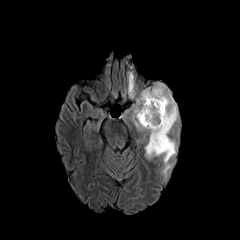
FLAIR MRI.
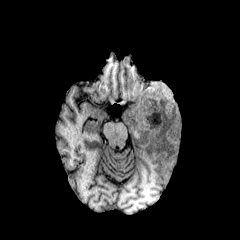
T1-weighted MR.
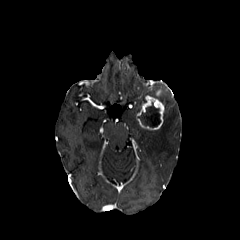
Post-contrast T1-weighted MRI of the same slice.
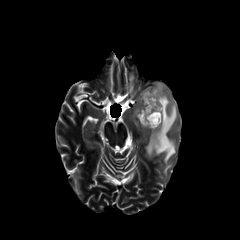
T2-weighted MR.
Axial view.
* enhancing tumor: x1=136 y1=89 x2=164 y2=130
* necrotic tumor core: x1=138 y1=102 x2=160 y2=127
* peritumoral edema: x1=132 y1=83 x2=177 y2=177, x1=128 y1=72 x2=135 y2=98